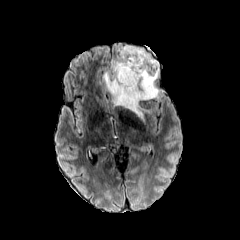
FLAIR magnetic resonance.
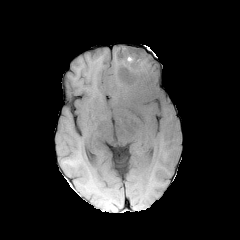
Same slice, T1-weighted MRI.
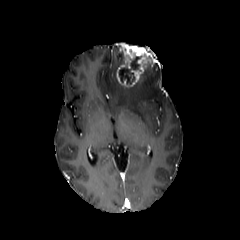
Same slice, post-contrast T1-weighted MR image.
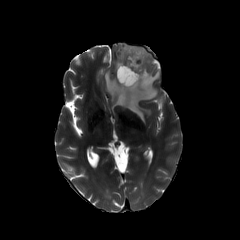
T2-weighted MR.
240x240 | Brain | Axial slice
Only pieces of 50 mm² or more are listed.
<segmentation>
  <necrotic_tumor_core><box>119,56,140,83</box></necrotic_tumor_core>
  <enhancing_tumor><box>116,43,157,87</box></enhancing_tumor>
  <peritumoral_edema><box>104,52,159,120</box></peritumoral_edema>
</segmentation>